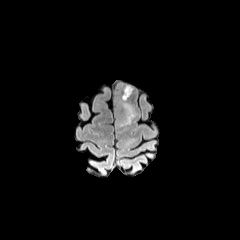
FLAIR MR image.
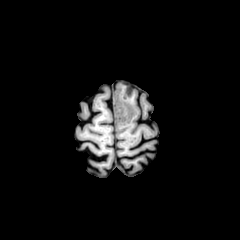
T1-weighted magnetic resonance.
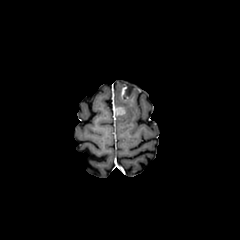
Same slice, post-contrast T1-weighted MR.
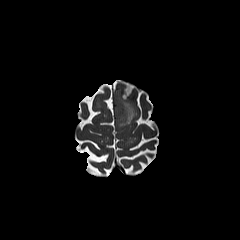
T2-weighted MR image.
Head
2 enhancing tumor regions are bounded by box(121, 84, 133, 100); box(115, 107, 125, 115). The peritumoral edema lies within box(115, 91, 137, 126).